FLAIR MR image.
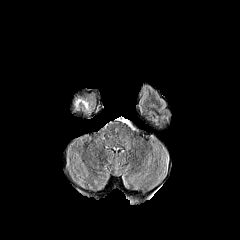
T1-weighted MRI.
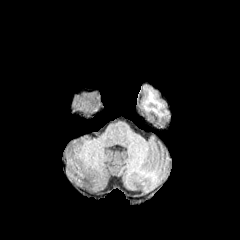
Post-contrast T1-weighted MR image.
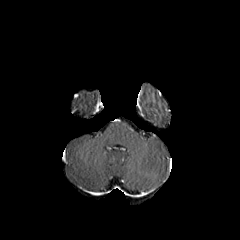
T2-weighted MR.
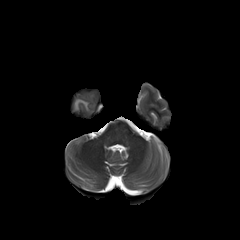
Image size 240x240. Axial plane. Brain.
peritumoral edema: [75, 99, 88, 110]